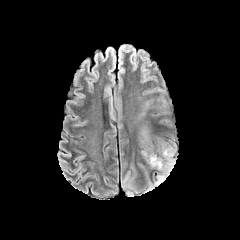
FLAIR MR image.
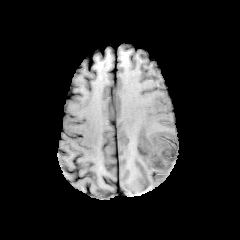
T1-weighted MR image.
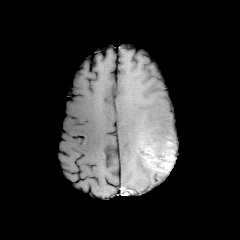
Same slice, post-contrast T1-weighted MR.
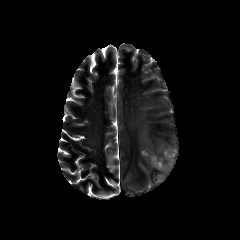
T2-weighted MR of the same slice.
Head
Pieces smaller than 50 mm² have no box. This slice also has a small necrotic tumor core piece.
Annotated regions:
* peritumoral edema: 156,173,167,184
* enhancing tumor: 143,142,175,174